FLAIR magnetic resonance.
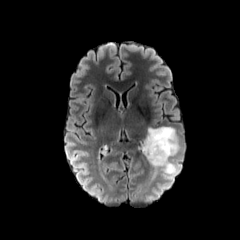
T1-weighted magnetic resonance.
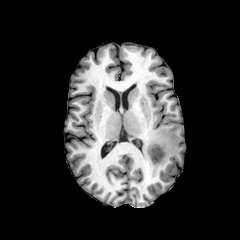
Post-contrast T1-weighted MRI.
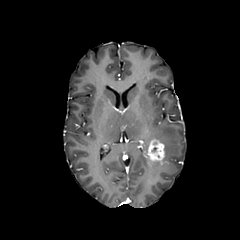
T2-weighted MRI.
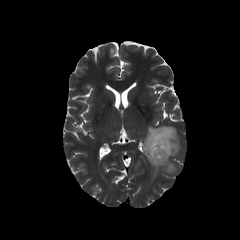
Head, Axial plane
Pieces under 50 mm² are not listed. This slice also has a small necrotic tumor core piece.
Segmented structures:
• peritumoral edema: box=[143, 126, 179, 174]
• enhancing tumor: box=[147, 139, 164, 164]